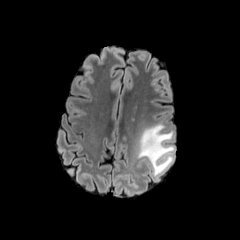
FLAIR magnetic resonance.
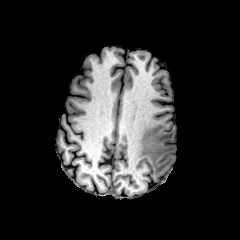
T1-weighted MR.
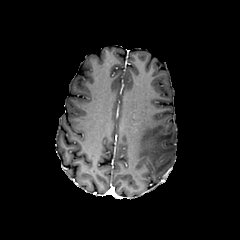
Same slice, post-contrast T1-weighted MR image.
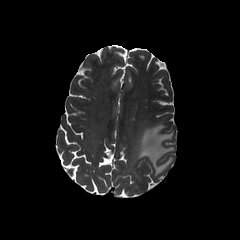
T2-weighted MRI.
Axial view
The peritumoral edema lies within [137, 124, 175, 175].